FLAIR MR image.
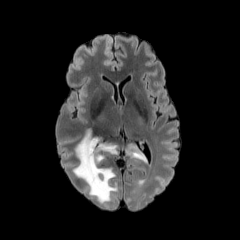
T1-weighted MR image.
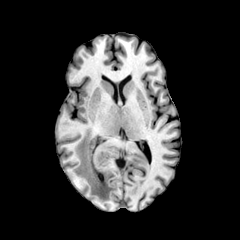
Post-contrast T1-weighted magnetic resonance.
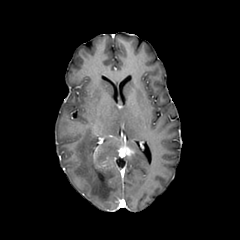
T2-weighted MRI.
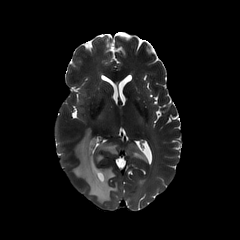
Axial view.
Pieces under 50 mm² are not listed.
The largest enhancing tumor region is bounded by rect(118, 146, 133, 156). 2 peritumoral edema regions are located at rect(127, 144, 146, 161); rect(73, 129, 118, 203).